240x240. Slice index 82. Head.
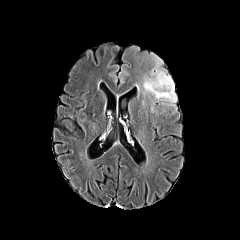
FLAIR magnetic resonance.
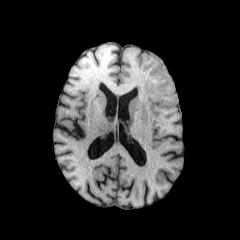
T1-weighted MR.
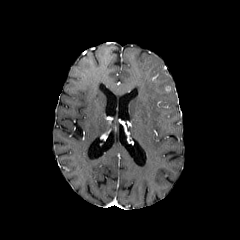
Post-contrast T1-weighted magnetic resonance.
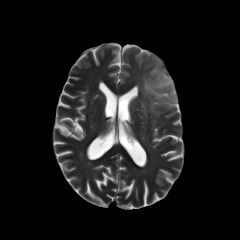
T2-weighted MR of the same slice.
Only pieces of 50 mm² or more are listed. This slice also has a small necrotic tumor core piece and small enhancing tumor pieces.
Segmented structures:
* peritumoral edema: 142 53 177 109